FLAIR MR.
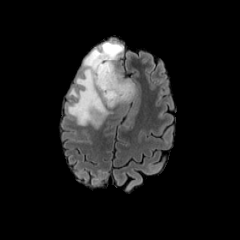
T1-weighted MR image.
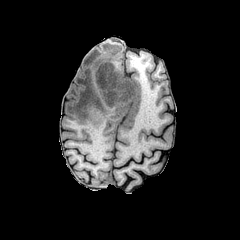
Post-contrast T1-weighted MR.
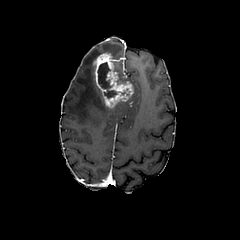
T2-weighted MR image.
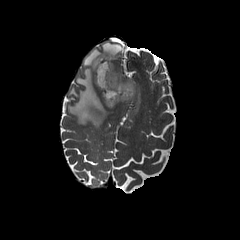
Axial plane. 240x240 px.
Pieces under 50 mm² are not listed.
The enhancing tumor is located at 93,53,133,108. The largest necrotic tumor core region is bounded by 98,62,128,100. The 2 largest peritumoral edema regions are bounded by 67,41,123,128; 115,66,135,105.